Axial slice | Head
FLAIR MR.
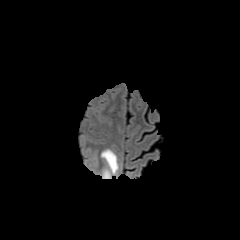
T1-weighted MRI.
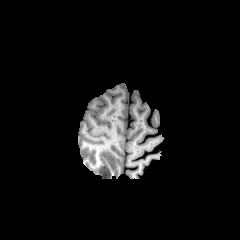
Post-contrast T1-weighted MRI.
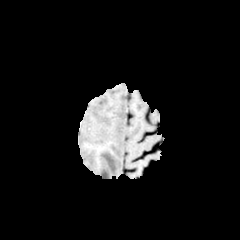
T2-weighted MRI.
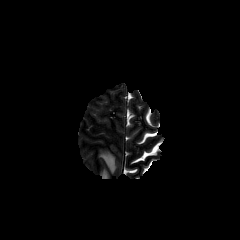
peritumoral edema — region(100, 149, 118, 178)